FLAIR MRI.
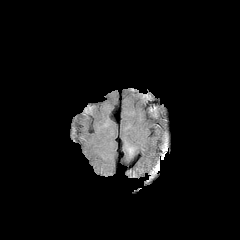
T1-weighted MR image.
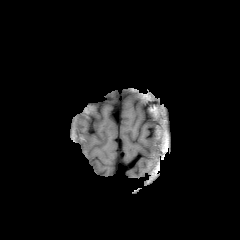
Post-contrast T1-weighted MR.
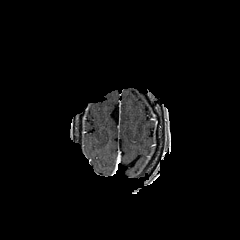
T2-weighted MRI.
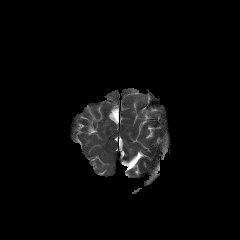
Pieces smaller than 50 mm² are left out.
Annotated regions:
- peritumoral edema: bbox(125, 143, 136, 157)